Slice 77/155, Brain, Axial plane
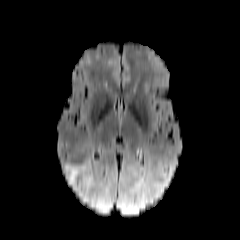
FLAIR MR image.
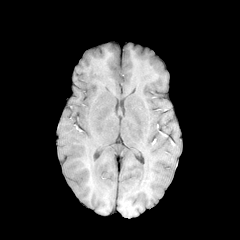
T1-weighted MR of the same slice.
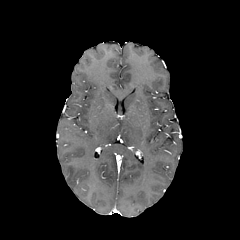
Post-contrast T1-weighted MRI of the same slice.
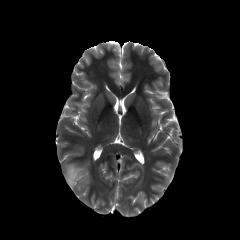
Same slice, T2-weighted MR.
The peritumoral edema appears at left=65, top=164, right=90, bottom=190.